FLAIR MR.
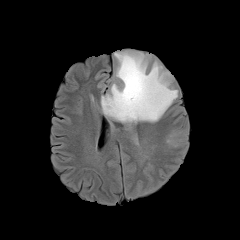
T1-weighted MRI.
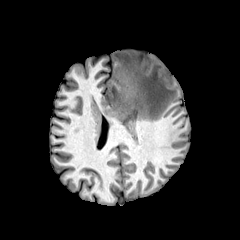
Post-contrast T1-weighted MRI.
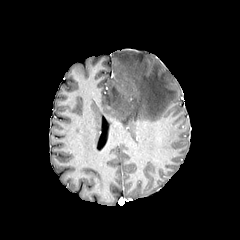
T2-weighted MR.
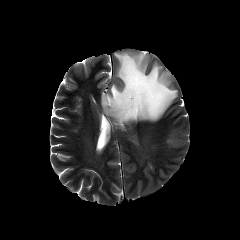
240x240 px | Head
peritumoral edema: x1=101, y1=51, x2=177, y2=145; x1=165, y1=128, x2=189, y2=148